FLAIR magnetic resonance.
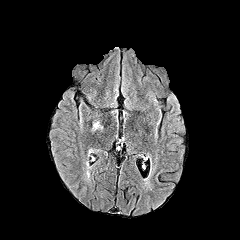
T1-weighted MRI.
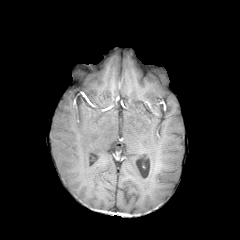
Post-contrast T1-weighted MRI.
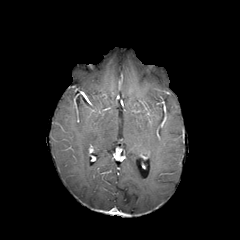
T2-weighted MR image.
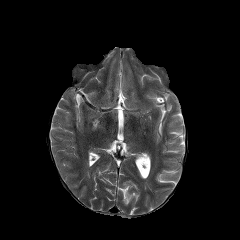
240x240 | Brain | Axial view
peritumoral edema = [92, 121, 102, 130]